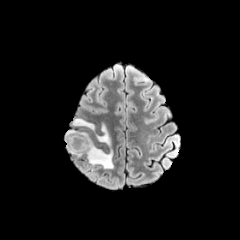
FLAIR MRI.
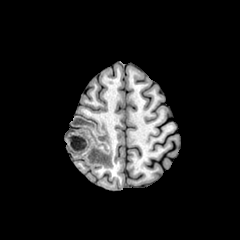
Same slice, T1-weighted magnetic resonance.
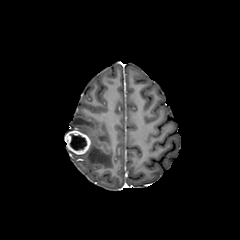
Post-contrast T1-weighted MR image.
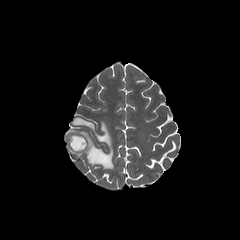
T2-weighted MR image.
240x240 px | Head | Axial view
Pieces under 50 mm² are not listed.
The 2 largest peritumoral edema regions are bounded by [x1=67, y1=122, x2=113, y2=168], [x1=71, y1=117, x2=94, y2=131]. The necrotic tumor core appears at [x1=70, y1=134, x2=86, y2=150]. The enhancing tumor lies within [x1=64, y1=130, x2=90, y2=154].